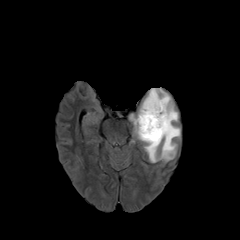
FLAIR MRI.
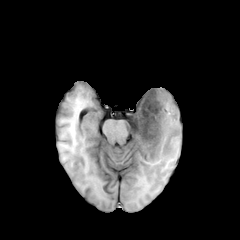
T1-weighted MRI.
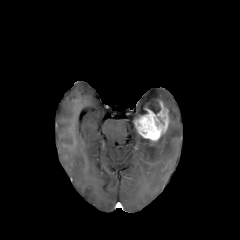
Post-contrast T1-weighted MRI.
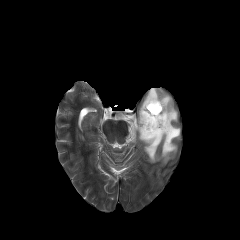
T2-weighted MRI of the same slice.
Axial view | Head | 240x240
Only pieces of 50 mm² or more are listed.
{"enhancing_tumor": ["<bbox>133, 99, 169, 144</bbox>"], "peritumoral_edema": ["<bbox>129, 88, 180, 162</bbox>"], "necrotic_tumor_core": ["<bbox>148, 101, 160, 113</bbox>"]}